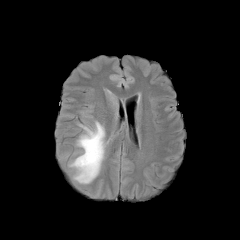
FLAIR magnetic resonance.
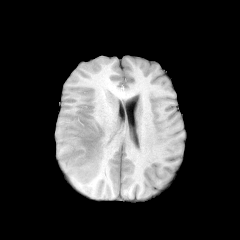
Same slice, T1-weighted MR image.
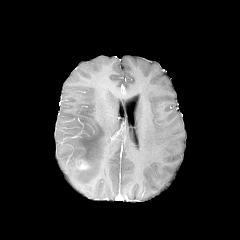
Post-contrast T1-weighted MRI.
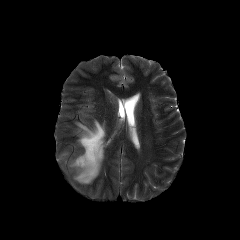
T2-weighted MRI of the same slice.
Image size 240x240.
peritumoral edema at l=68, t=121, r=106, b=183
enhancing tumor at l=76, t=160, r=88, b=169